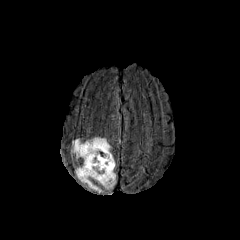
FLAIR MR image.
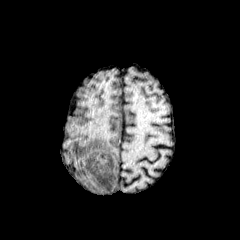
Same slice, T1-weighted magnetic resonance.
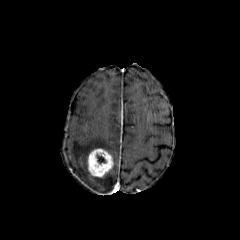
Post-contrast T1-weighted MRI of the same slice.
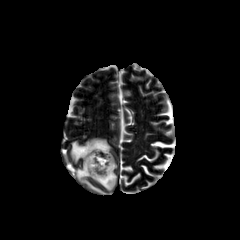
T2-weighted MRI of the same slice.
Axial view.
enhancing tumor: bounding box (left=87, top=148, right=113, bottom=177)
necrotic tumor core: bounding box (left=97, top=155, right=105, bottom=163)
peritumoral edema: bounding box (left=71, top=137, right=116, bottom=192)